Slice 36/155; 240x240 px; Brain
FLAIR MRI.
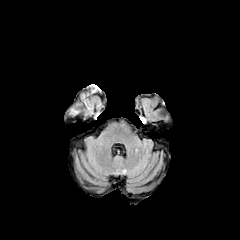
T1-weighted MR.
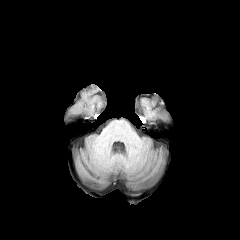
Post-contrast T1-weighted MR.
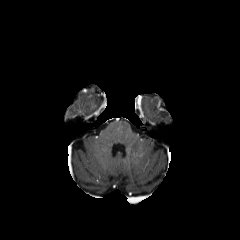
T2-weighted MR.
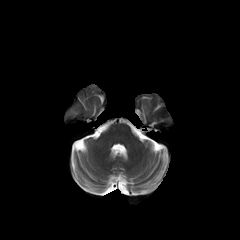
2 peritumoral edema regions are located at bbox(80, 92, 94, 116); bbox(68, 106, 79, 116).